240x240 px
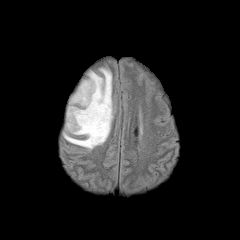
FLAIR MR image.
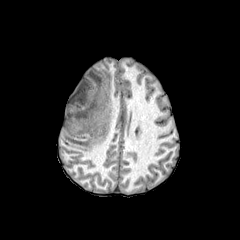
Same slice, T1-weighted magnetic resonance.
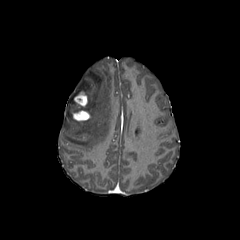
Post-contrast T1-weighted MRI.
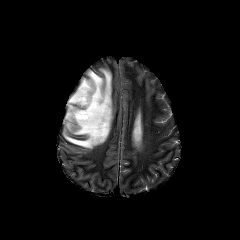
T2-weighted MR.
peritumoral edema = [63,68,113,149]
enhancing tumor = [74,91,87,106], [73,110,90,121]